Brain.
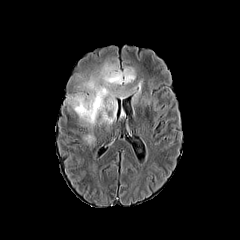
FLAIR MR image.
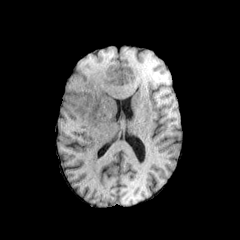
T1-weighted MR.
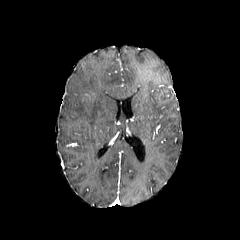
Same slice, post-contrast T1-weighted MR image.
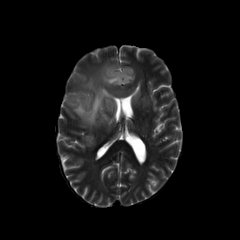
T2-weighted MRI.
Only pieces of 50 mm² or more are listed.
peritumoral edema: [133, 82, 141, 103], [68, 63, 135, 125]